FLAIR MR image.
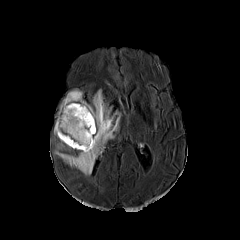
T1-weighted MR.
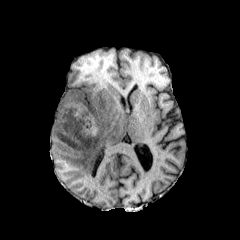
Post-contrast T1-weighted MR image.
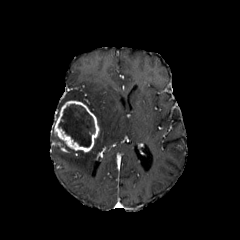
T2-weighted magnetic resonance.
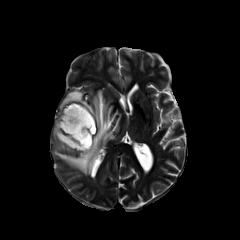
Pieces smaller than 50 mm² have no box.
3 peritumoral edema regions are located at bbox=[59, 90, 92, 110]; bbox=[56, 143, 73, 150]; bbox=[54, 90, 120, 175]. The largest necrotic tumor core region is bounded by bbox=[58, 104, 95, 147]. The enhancing tumor appears at bbox=[54, 100, 99, 152].